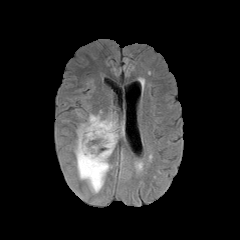
FLAIR magnetic resonance.
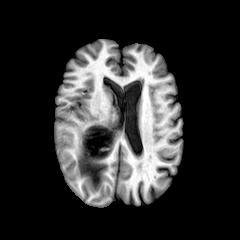
T1-weighted MRI of the same slice.
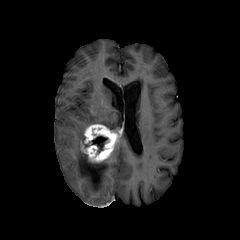
Same slice, post-contrast T1-weighted MR.
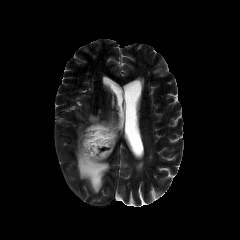
Same slice, T2-weighted magnetic resonance.
Head.
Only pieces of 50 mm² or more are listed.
The enhancing tumor lies within x1=81, y1=124, x2=119, y2=162. The largest peritumoral edema region appears at x1=75, y1=113, x2=119, y2=193. The largest necrotic tumor core region is at x1=91, y1=136, x2=107, y2=152.